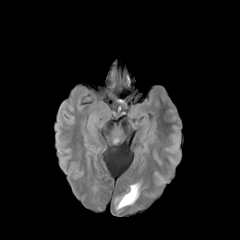
FLAIR MR image.
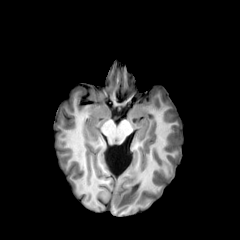
Same slice, T1-weighted MRI.
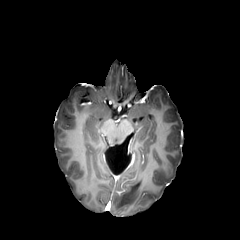
Post-contrast T1-weighted MRI.
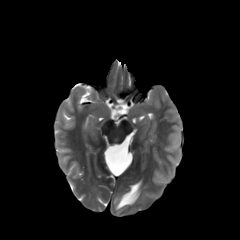
T2-weighted magnetic resonance.
Axial view
The peritumoral edema appears at <box>115,183,140,210</box>.